240x240. Brain.
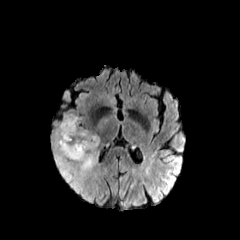
FLAIR magnetic resonance.
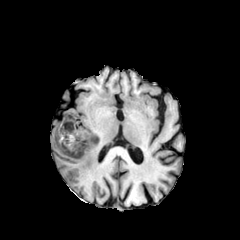
T1-weighted MRI.
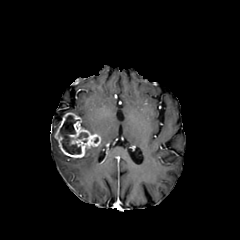
Same slice, post-contrast T1-weighted MR.
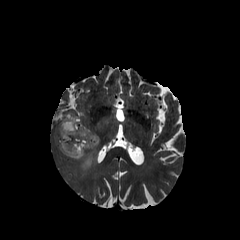
T2-weighted magnetic resonance of the same slice.
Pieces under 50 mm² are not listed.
necrotic tumor core at 78 132 88 138, 59 115 81 154
enhancing tumor at 54 112 100 158
peritumoral edema at 97 117 107 129, 50 121 101 203